Axial plane. Image size 240x240.
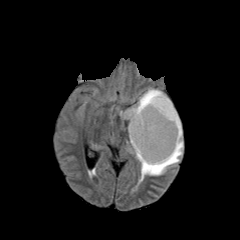
FLAIR MRI.
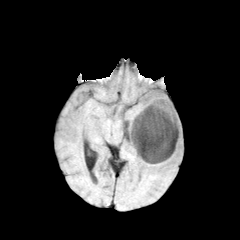
Same slice, T1-weighted magnetic resonance.
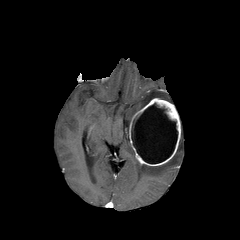
Post-contrast T1-weighted MR of the same slice.
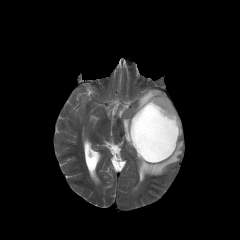
T2-weighted MR image.
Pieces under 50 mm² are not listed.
The necrotic tumor core is at 131 103 177 163. The 2 largest peritumoral edema regions are bounded by 120 88 171 135, 140 131 183 181. The enhancing tumor lies within 129 98 181 166.